Image width 240 mm, 1.00 mm slice spacing, Head, Axial plane
FLAIR MR image.
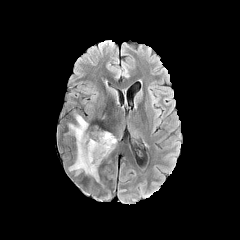
T1-weighted MR image.
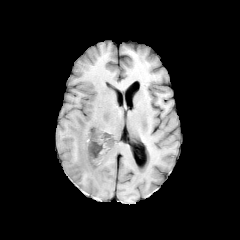
Post-contrast T1-weighted MR image.
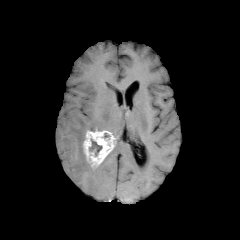
T2-weighted MR image.
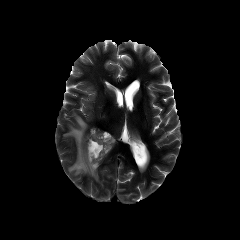
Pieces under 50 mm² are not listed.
The largest necrotic tumor core region is at [89,139,102,155]. The largest peritumoral edema region lies within [64,114,98,181]. The enhancing tumor is located at [83,128,115,168].